FLAIR MRI.
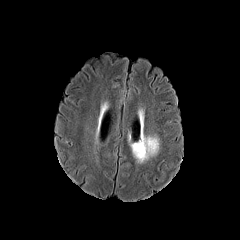
T1-weighted MR.
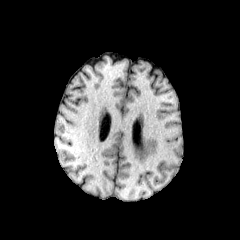
Post-contrast T1-weighted MR.
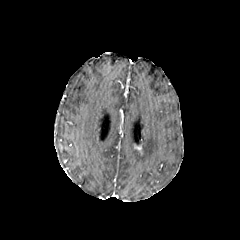
T2-weighted MR.
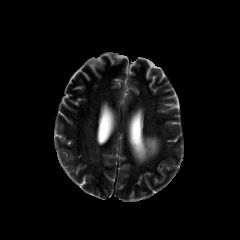
Head.
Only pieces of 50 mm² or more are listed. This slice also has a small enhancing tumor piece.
peritumoral_edema:
  - region(130, 131, 159, 163)